Image width 240 mm, 1.00 mm slice spacing | Head
FLAIR MR image.
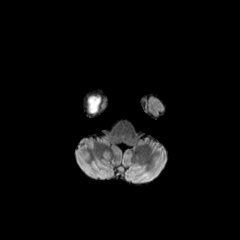
T1-weighted MR image.
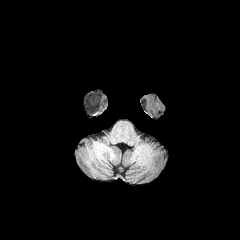
Post-contrast T1-weighted MR.
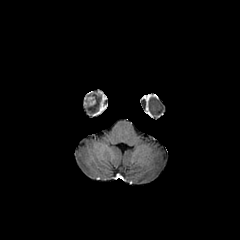
T2-weighted magnetic resonance.
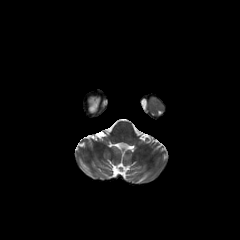
- peritumoral edema: x1=88 y1=97 x2=100 y2=113